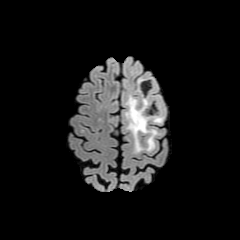
FLAIR magnetic resonance.
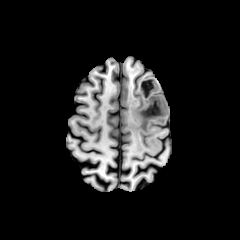
Same slice, T1-weighted MRI.
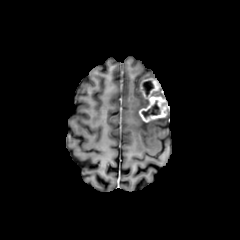
Post-contrast T1-weighted MRI.
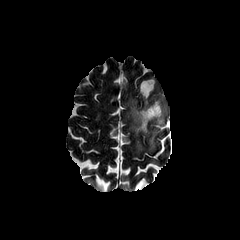
Same slice, T2-weighted MRI.
240x240
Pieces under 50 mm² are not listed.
peritumoral edema = box=[125, 88, 158, 152]; box=[150, 118, 164, 124]
enhancing tumor = box=[139, 78, 168, 122]
necrotic tumor core = box=[143, 105, 159, 118]; box=[143, 81, 152, 94]